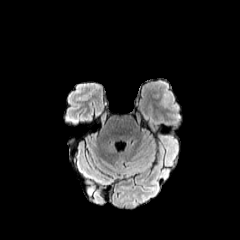
FLAIR MRI.
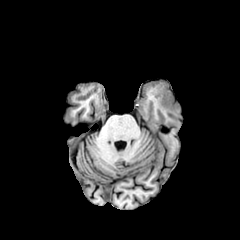
T1-weighted MR.
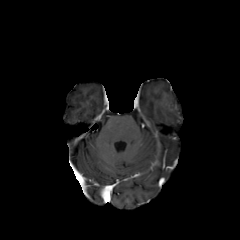
Post-contrast T1-weighted MRI of the same slice.
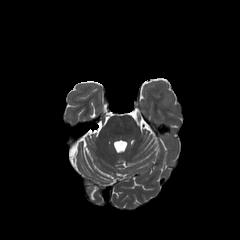
T2-weighted MRI.
Brain | Axial plane
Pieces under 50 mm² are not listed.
- peritumoral edema: 161:93:169:106